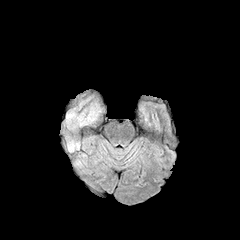
FLAIR MR.
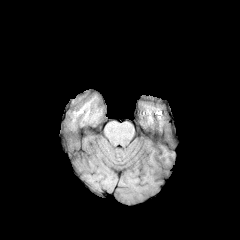
Same slice, T1-weighted MR.
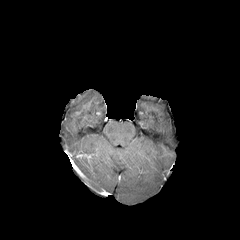
Post-contrast T1-weighted MR.
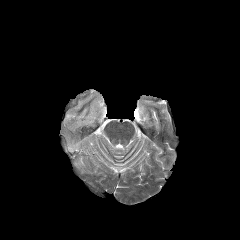
T2-weighted MR image of the same slice.
Head | Axial view
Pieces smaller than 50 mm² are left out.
peritumoral edema: (x1=67, y1=92, x2=97, y2=131), (x1=68, y1=140, x2=79, y2=151)